Slice 47/155
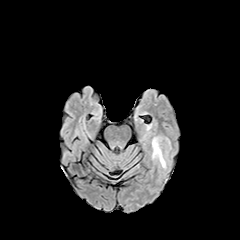
FLAIR MRI.
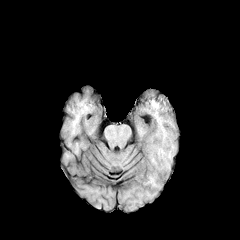
T1-weighted MR image of the same slice.
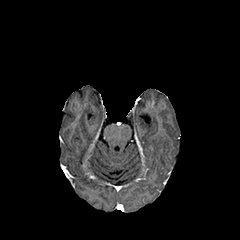
Post-contrast T1-weighted MRI.
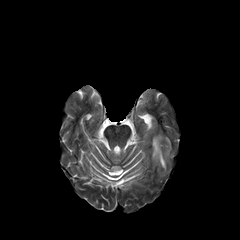
Same slice, T2-weighted magnetic resonance.
{"peritumoral_edema": ["x1=152 y1=137 x2=165 y2=167"]}